Axial view; Head; Image size 240x240; Slice 119/155
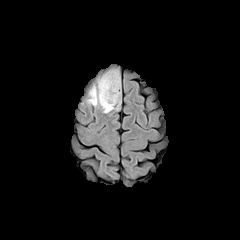
FLAIR MRI.
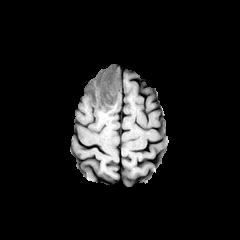
T1-weighted MRI.
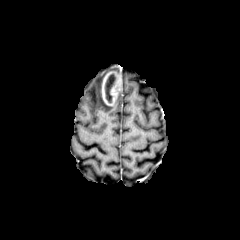
Same slice, post-contrast T1-weighted MR image.
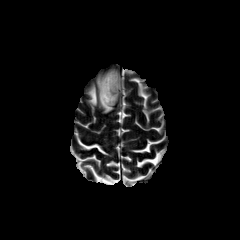
T2-weighted MR of the same slice.
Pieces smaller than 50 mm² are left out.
enhancing tumor: bounding box 102 71 120 105
necrotic tumor core: bounding box 105 73 115 103
peritumoral edema: bounding box 86 74 120 113